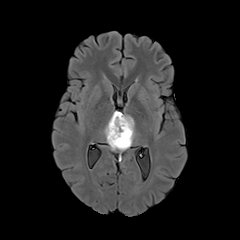
FLAIR magnetic resonance.
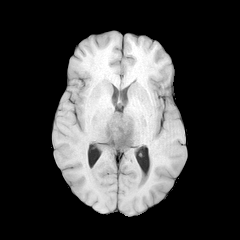
Same slice, T1-weighted MRI.
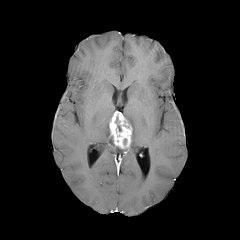
Post-contrast T1-weighted MRI.
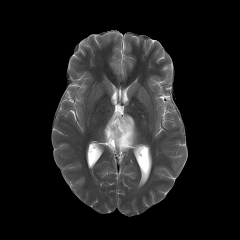
T2-weighted MR of the same slice.
Axial slice | Brain
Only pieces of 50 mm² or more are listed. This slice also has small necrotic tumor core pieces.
enhancing tumor: bounding box (x1=109, y1=111, x2=132, y2=148)
peritumoral edema: bounding box (x1=104, y1=118, x2=128, y2=151), (x1=123, y1=114, x2=135, y2=146)